FLAIR magnetic resonance.
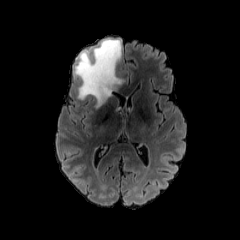
T1-weighted MRI.
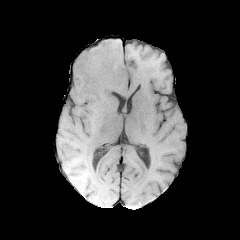
Post-contrast T1-weighted MR image.
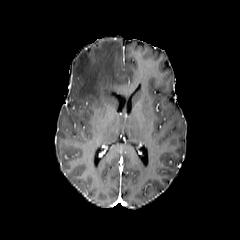
T2-weighted magnetic resonance.
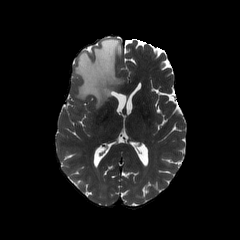
Axial view, Brain
peritumoral_edema:
  - bbox=[74, 39, 124, 108]